Image width 240 mm, 1.00 mm slice spacing; Axial slice
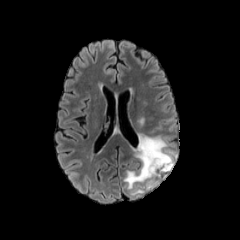
FLAIR MR image.
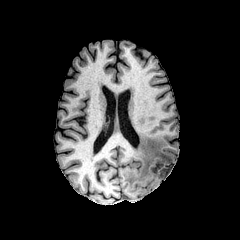
T1-weighted magnetic resonance of the same slice.
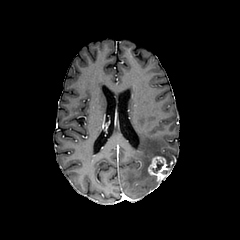
Post-contrast T1-weighted MR.
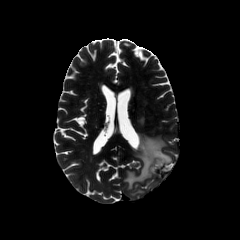
T2-weighted magnetic resonance.
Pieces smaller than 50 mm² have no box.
Findings:
* enhancing tumor: 148,156,172,182
* peritumoral edema: 124,134,174,190
* necrotic tumor core: 152,163,163,172